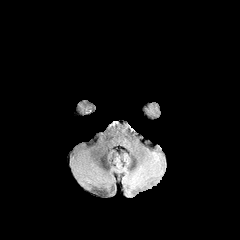
FLAIR magnetic resonance.
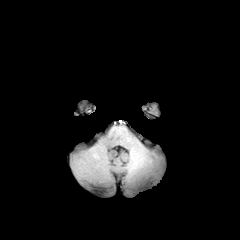
T1-weighted MR image of the same slice.
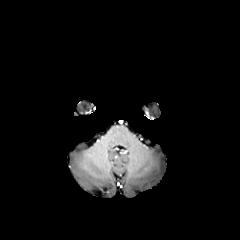
Post-contrast T1-weighted MR image.
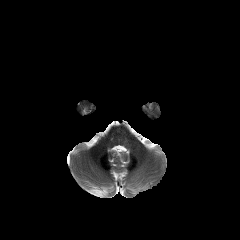
T2-weighted MR.
240x240 px | Brain
peritumoral_edema:
  - (left=77, top=100, right=92, bottom=114)